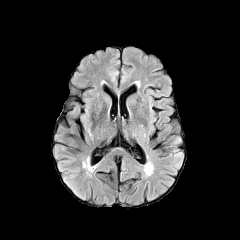
FLAIR MR.
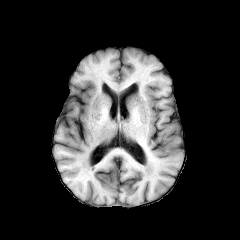
T1-weighted MR image.
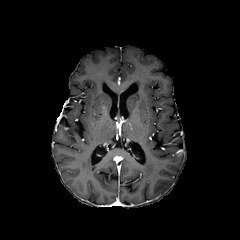
Post-contrast T1-weighted magnetic resonance.
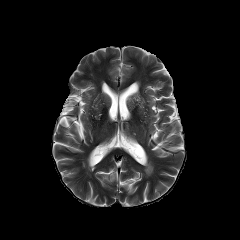
T2-weighted MR of the same slice.
Head | Axial slice
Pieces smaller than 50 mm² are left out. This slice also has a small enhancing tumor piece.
Segmented structures:
* peritumoral edema: {"x1": 173, "y1": 148, "x2": 183, "y2": 157}